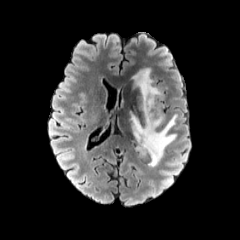
FLAIR MR.
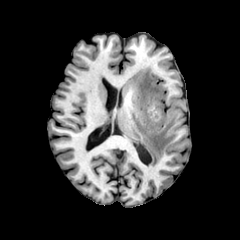
T1-weighted MR of the same slice.
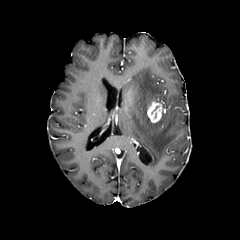
Post-contrast T1-weighted MRI.
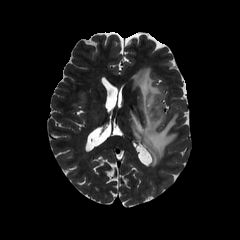
Same slice, T2-weighted MR image.
Axial slice; Head
The enhancing tumor is bounded by <bbox>147, 100, 162, 122</bbox>. The peritumoral edema is at <bbox>130, 67, 177, 166</bbox>.